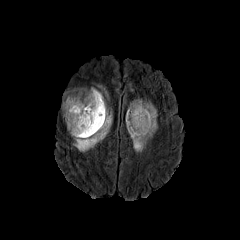
FLAIR MR image.
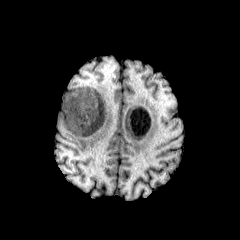
T1-weighted MR of the same slice.
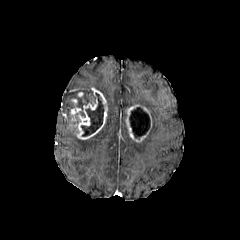
Post-contrast T1-weighted MR image of the same slice.
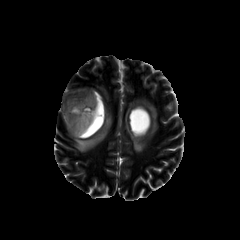
T2-weighted MRI of the same slice.
Head. Axial plane.
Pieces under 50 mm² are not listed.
enhancing tumor = [125,104,152,142], [65,87,108,139]
peritumoral edema = [69,110,112,152], [129,99,157,152], [64,101,69,115]
necrotic tumor core = [81,93,103,136], [129,107,150,138], [77,96,89,109]